Brain
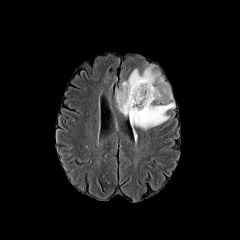
FLAIR MR image.
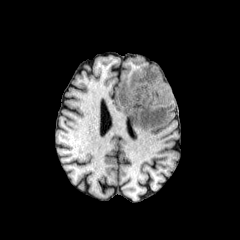
T1-weighted magnetic resonance.
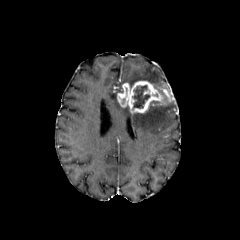
Same slice, post-contrast T1-weighted magnetic resonance.
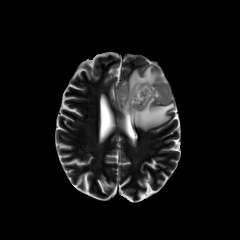
T2-weighted magnetic resonance of the same slice.
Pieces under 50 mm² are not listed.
The largest necrotic tumor core region is at rect(132, 85, 149, 109). 2 enhancing tumor regions are bounded by rect(117, 81, 163, 114); rect(162, 89, 172, 101). The 2 largest peritumoral edema regions are bounded by rect(121, 64, 163, 84); rect(116, 90, 175, 130).